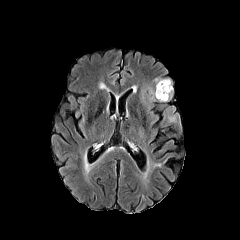
FLAIR MR image.
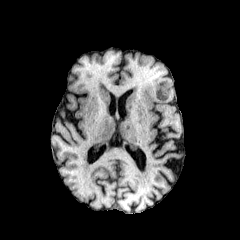
T1-weighted MR image.
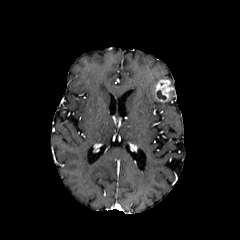
Post-contrast T1-weighted MRI.
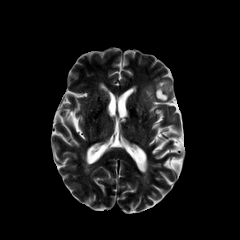
T2-weighted MR.
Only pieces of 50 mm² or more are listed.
{
  "enhancing_tumor": [
    "x1=154, y1=79, x2=173, y2=101"
  ],
  "peritumoral_edema": [
    "x1=167, y1=109, x2=177, y2=121",
    "x1=142, y1=86, x2=156, y2=101"
  ],
  "necrotic_tumor_core": [
    "x1=157, y1=90, x2=166, y2=99"
  ]
}